Slice index 63. Brain. Image covers 240 mm x 240 mm. Image size 240x240.
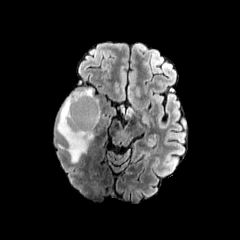
FLAIR MRI.
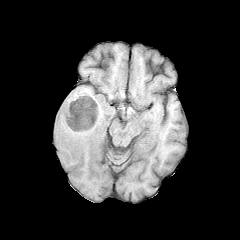
T1-weighted MR.
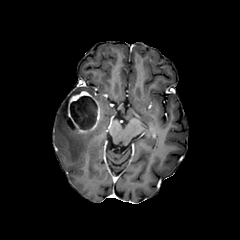
Post-contrast T1-weighted MRI.
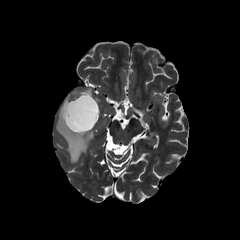
Same slice, T2-weighted MRI.
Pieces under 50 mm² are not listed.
Findings:
• necrotic tumor core: (x1=70, y1=96, x2=97, y2=129), (x1=67, y1=118, x2=75, y2=129)
• enhancing tumor: (x1=66, y1=91, x2=101, y2=133)
• peritumoral edema: (x1=56, y1=88, x2=94, y2=162)